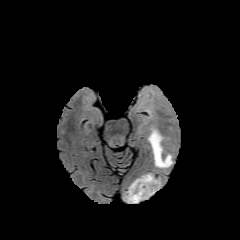
FLAIR MR.
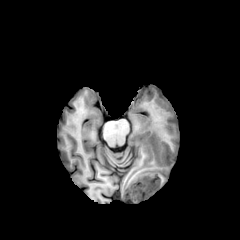
T1-weighted MR image.
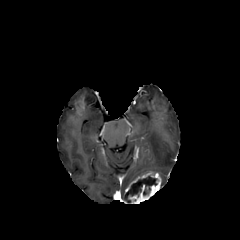
Post-contrast T1-weighted MR.
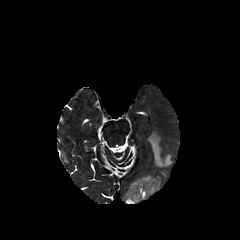
T2-weighted MR.
Axial view.
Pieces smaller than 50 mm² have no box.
enhancing tumor at 125 172 161 203
necrotic tumor core at 125 176 156 202
peritumoral edema at 148 129 172 167